Brain; Image covers 240 mm x 240 mm
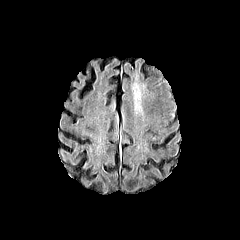
FLAIR MR.
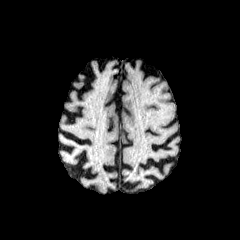
T1-weighted MRI.
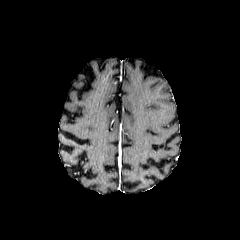
Post-contrast T1-weighted magnetic resonance.
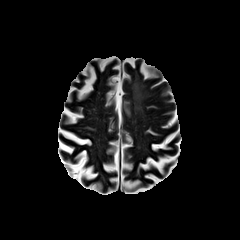
T2-weighted MR image.
The peritumoral edema is at 133:84:141:111.